FLAIR magnetic resonance.
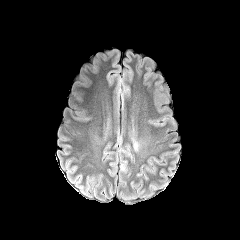
T1-weighted MR image.
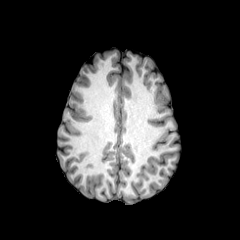
Post-contrast T1-weighted magnetic resonance.
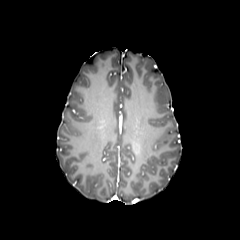
T2-weighted magnetic resonance.
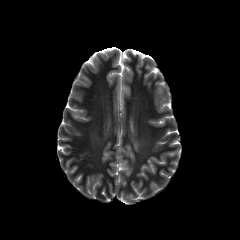
Axial view, Brain
The peritumoral edema is located at (131,137,140,151).